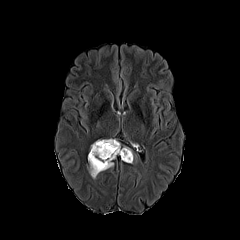
FLAIR MR.
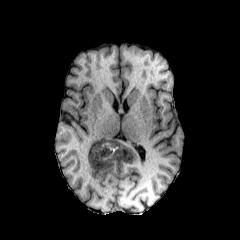
T1-weighted MRI.
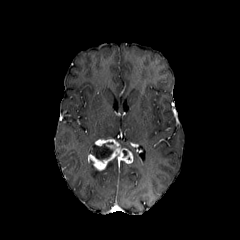
Post-contrast T1-weighted MRI of the same slice.
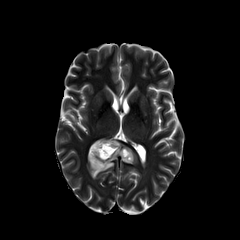
T2-weighted MR.
Axial slice.
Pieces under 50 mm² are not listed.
{"enhancing_tumor": ["box=[88, 139, 133, 170]"], "necrotic_tumor_core": ["box=[90, 144, 114, 160]"], "peritumoral_edema": ["box=[87, 160, 101, 178]"]}